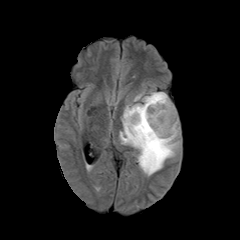
FLAIR MRI.
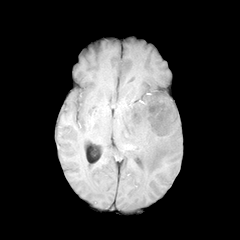
T1-weighted MR image.
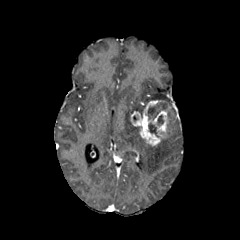
Post-contrast T1-weighted MR image.
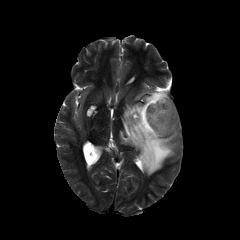
Same slice, T2-weighted MR image.
Axial view, 240x240
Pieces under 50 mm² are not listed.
necrotic tumor core: box(147, 102, 167, 119); box(148, 123, 158, 137); box(157, 115, 163, 125)
peritumoral edema: box(120, 103, 180, 175); box(134, 87, 171, 104)
enhancing tumor: box(131, 100, 176, 145)